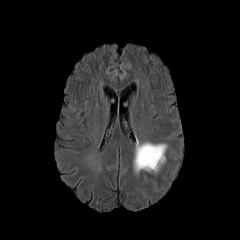
FLAIR MR image.
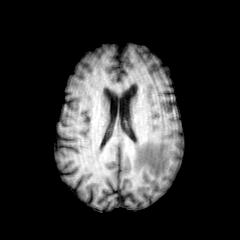
T1-weighted MR image.
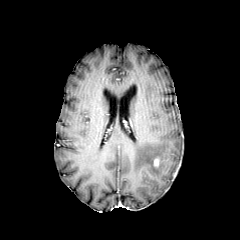
Post-contrast T1-weighted magnetic resonance of the same slice.
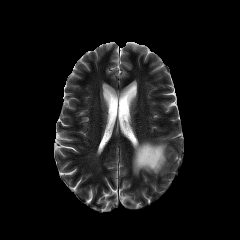
T2-weighted MRI.
Brain
The enhancing tumor is at x1=153 y1=156 x2=159 y2=166. The peritumoral edema is bounded by x1=133 y1=141 x2=167 y2=173.